FLAIR magnetic resonance.
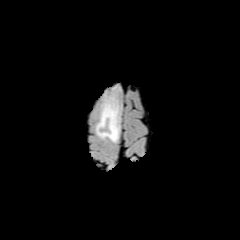
T1-weighted MRI.
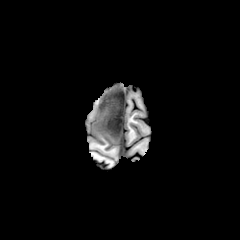
Post-contrast T1-weighted MR.
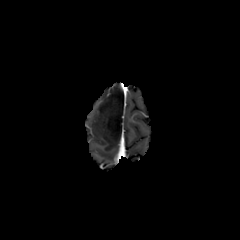
T2-weighted magnetic resonance.
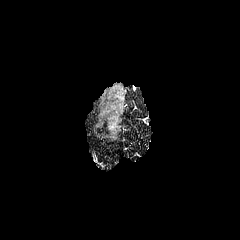
Axial slice. Image size 240x240. Brain.
peritumoral edema — left=96, top=86, right=122, bottom=142